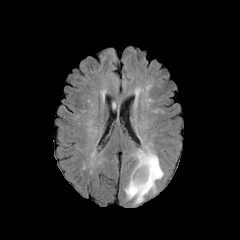
FLAIR MR.
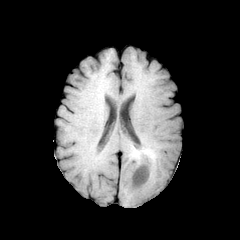
Same slice, T1-weighted MR image.
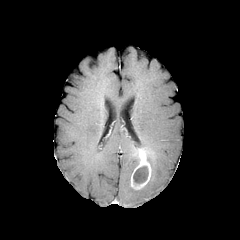
Same slice, post-contrast T1-weighted magnetic resonance.
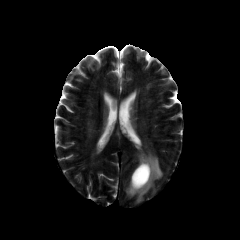
Same slice, T2-weighted magnetic resonance.
240x240 | Brain
necrotic tumor core: 133:166:148:183
peritumoral edema: 125:146:163:204, 135:149:140:166
enhancing tumor: 131:150:151:189